FLAIR MR.
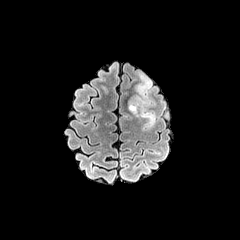
T1-weighted MRI.
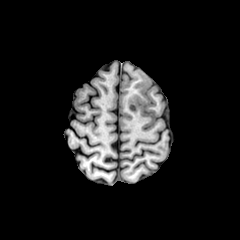
Post-contrast T1-weighted MRI.
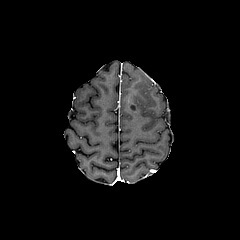
T2-weighted MRI.
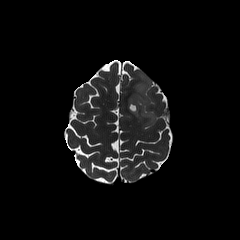
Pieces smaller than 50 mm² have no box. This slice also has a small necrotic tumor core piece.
{
  "enhancing_tumor": [
    "box(128, 101, 137, 112)"
  ],
  "peritumoral_edema": [
    "box(129, 74, 156, 127)"
  ]
}